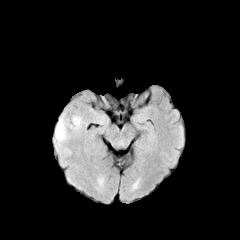
FLAIR MRI.
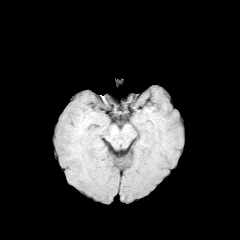
T1-weighted MRI of the same slice.
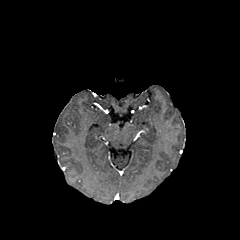
Same slice, post-contrast T1-weighted MR image.
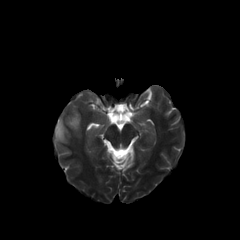
T2-weighted magnetic resonance.
Axial plane, Head
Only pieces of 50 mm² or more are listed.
Annotated regions:
* peritumoral edema: [54, 112, 83, 154]